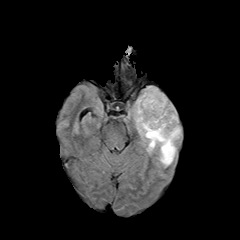
FLAIR magnetic resonance.
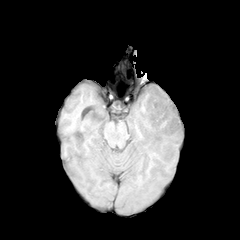
T1-weighted magnetic resonance.
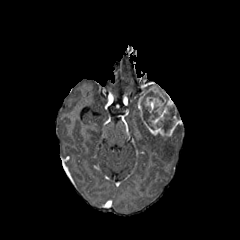
Post-contrast T1-weighted MR image.
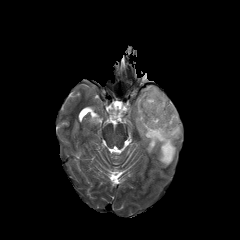
T2-weighted MRI.
Axial slice.
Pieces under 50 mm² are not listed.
necrotic tumor core: {"x1": 141, "y1": 91, "x2": 163, "y2": 129}, {"x1": 157, "y1": 107, "x2": 174, "y2": 132} | enhancing tumor: {"x1": 138, "y1": 86, "x2": 180, "y2": 137} | peritumoral edema: {"x1": 133, "y1": 100, "x2": 181, "y2": 166}